FLAIR magnetic resonance.
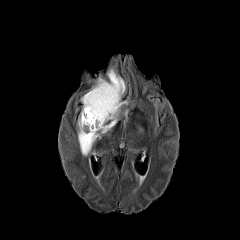
T1-weighted MR image.
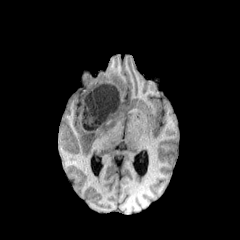
Post-contrast T1-weighted MR image.
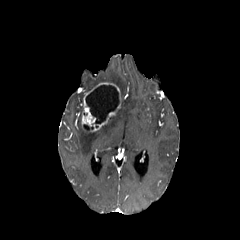
T2-weighted MRI.
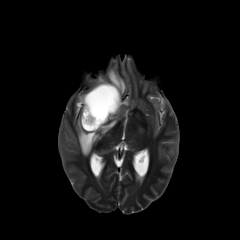
Head
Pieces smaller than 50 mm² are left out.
Annotated regions:
* enhancing tumor: bbox(81, 82, 121, 131)
* necrotic tumor core: bbox(85, 85, 119, 127); bbox(83, 124, 93, 130)
* peritumoral edema: bbox(78, 108, 128, 155); bbox(91, 76, 106, 88); bbox(107, 68, 125, 96)